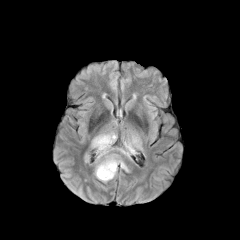
FLAIR magnetic resonance.
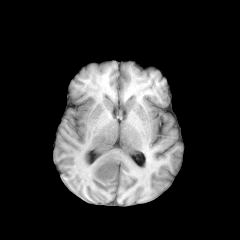
T1-weighted MRI.
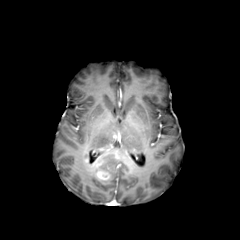
Same slice, post-contrast T1-weighted MRI.
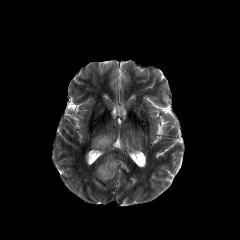
T2-weighted MR.
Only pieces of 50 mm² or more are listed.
enhancing tumor — <box>95,161,110,180</box>
peritumoral edema — <box>92,134,128,179</box>, <box>119,141,135,156</box>